FLAIR MR image.
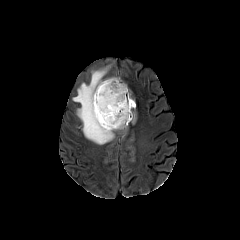
T1-weighted MRI.
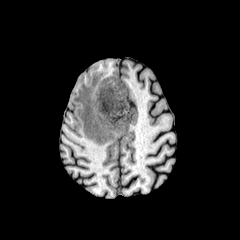
Post-contrast T1-weighted MRI.
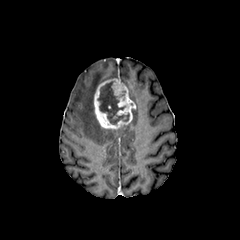
T2-weighted magnetic resonance.
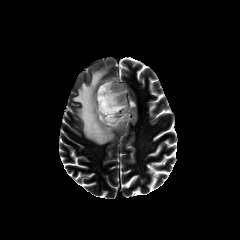
Head
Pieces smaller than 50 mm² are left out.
• peritumoral edema: (left=73, top=67, right=115, bottom=144)
• necrotic tumor core: (left=98, top=81, right=129, bottom=124)
• enhancing tumor: (left=94, top=78, right=135, bottom=129)